FLAIR magnetic resonance.
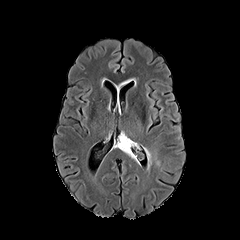
T1-weighted MR.
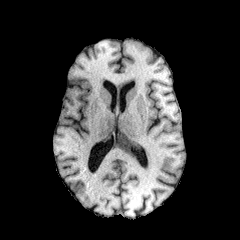
Post-contrast T1-weighted magnetic resonance.
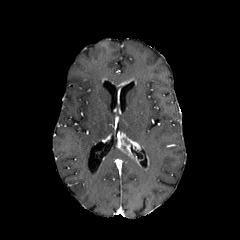
T2-weighted magnetic resonance.
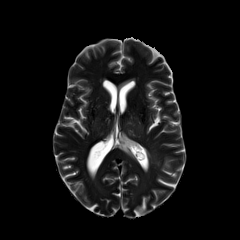
Head | 240x240
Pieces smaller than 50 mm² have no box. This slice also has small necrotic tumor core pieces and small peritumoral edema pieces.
The enhancing tumor appears at left=116, top=132, right=143, bottom=160.